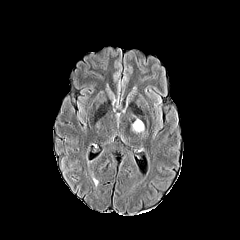
FLAIR MRI.
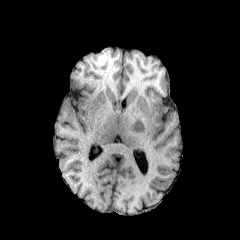
T1-weighted magnetic resonance.
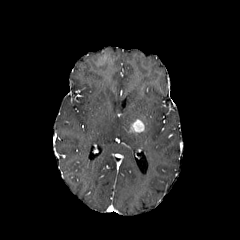
Post-contrast T1-weighted MR.
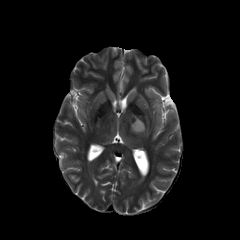
T2-weighted MRI.
Axial slice. Head.
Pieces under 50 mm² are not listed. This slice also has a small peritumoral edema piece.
The enhancing tumor is located at bbox(130, 119, 144, 132).